240x240 px, Axial plane, Brain
FLAIR MR image.
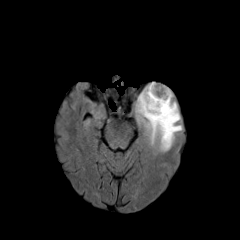
T1-weighted MRI.
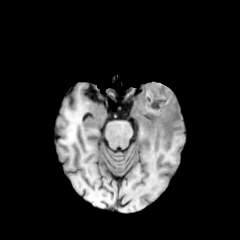
Post-contrast T1-weighted MRI.
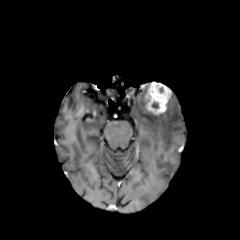
T2-weighted MR image.
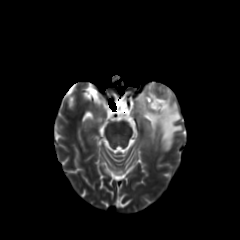
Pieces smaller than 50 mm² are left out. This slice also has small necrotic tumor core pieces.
The peritumoral edema is bounded by left=134, top=82, right=182, bottom=151. The enhancing tumor is at left=145, top=83, right=172, bottom=114.